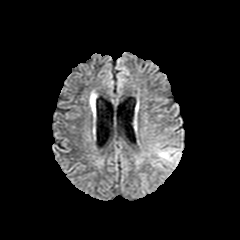
FLAIR MR image.
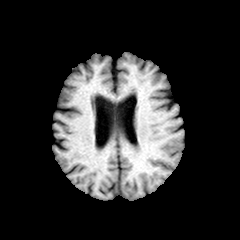
T1-weighted MR of the same slice.
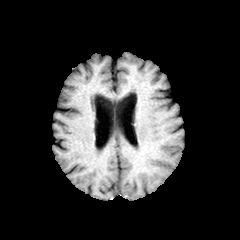
Post-contrast T1-weighted magnetic resonance of the same slice.
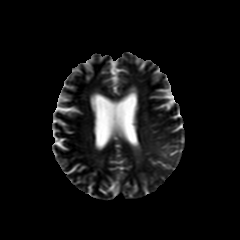
T2-weighted magnetic resonance.
Axial view
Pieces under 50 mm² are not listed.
The largest peritumoral edema region is at x1=157, y1=148, x2=180, y2=166.